FLAIR MR.
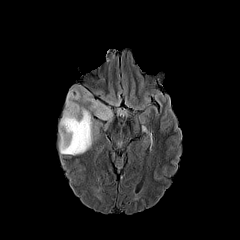
T1-weighted MRI.
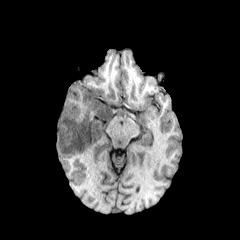
Post-contrast T1-weighted MR image.
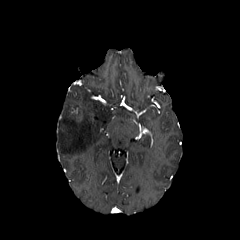
T2-weighted MRI.
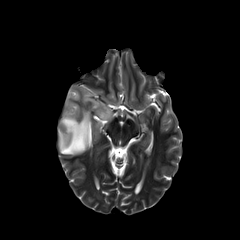
240x240 px. Head. Axial slice.
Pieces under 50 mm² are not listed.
peritumoral edema — bbox(59, 87, 112, 155)